FLAIR MR image.
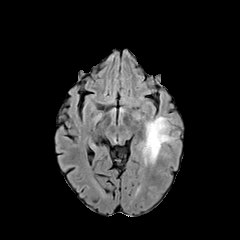
T1-weighted MRI.
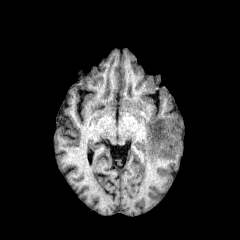
Post-contrast T1-weighted MR.
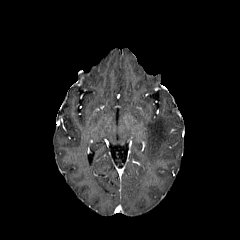
T2-weighted MR image.
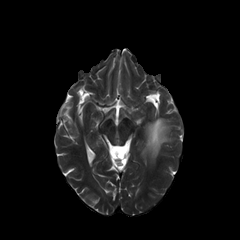
Brain
peritumoral edema: 143 117 173 163